FLAIR magnetic resonance.
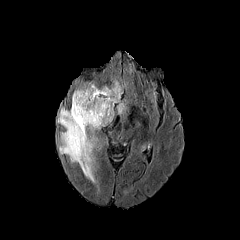
T1-weighted MR image.
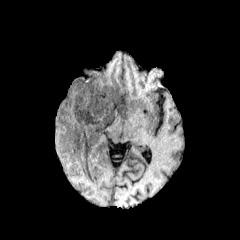
Post-contrast T1-weighted MR image.
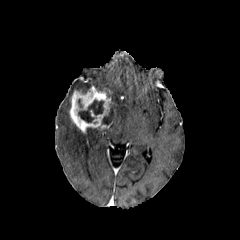
T2-weighted MRI.
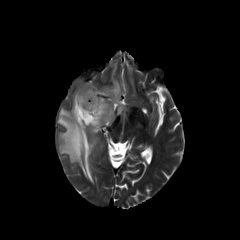
Image size 240x240. Brain.
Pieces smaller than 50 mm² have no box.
Segmented structures:
- enhancing tumor: bbox=[69, 85, 113, 133]
- peritumoral edema: bbox=[57, 107, 100, 182]; bbox=[76, 79, 125, 125]
- necrotic tumor core: bbox=[78, 100, 103, 122]